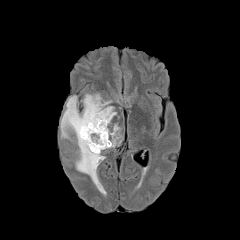
FLAIR MRI.
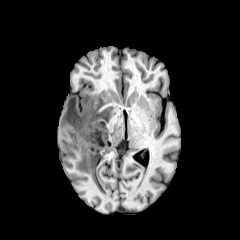
Same slice, T1-weighted MRI.
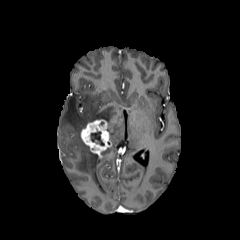
Post-contrast T1-weighted MRI of the same slice.
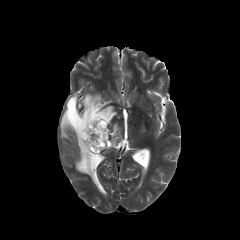
Same slice, T2-weighted MR image.
Head
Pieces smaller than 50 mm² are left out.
enhancing tumor: bounding box (80, 119, 111, 157)
necrotic tumor core: bounding box (90, 131, 104, 145)
peritumoral edema: bounding box (60, 94, 116, 193), (107, 124, 123, 147)